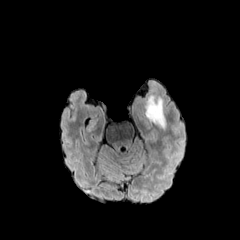
FLAIR magnetic resonance.
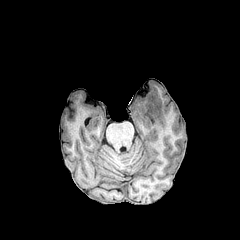
T1-weighted MRI.
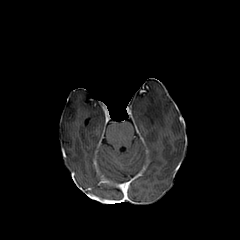
Same slice, post-contrast T1-weighted MR image.
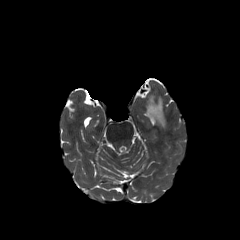
Same slice, T2-weighted MR.
Axial view, Brain
The peritumoral edema is bounded by 145 96 165 128.